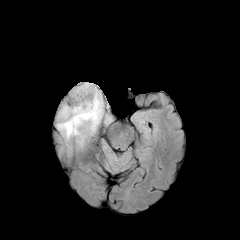
FLAIR MR image.
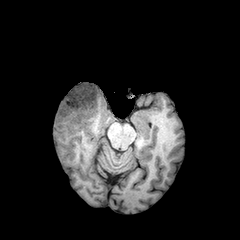
T1-weighted magnetic resonance.
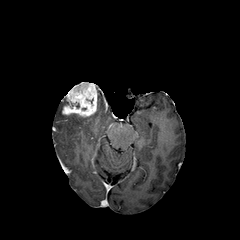
Post-contrast T1-weighted magnetic resonance.
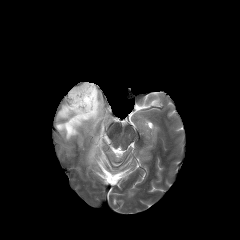
T2-weighted MR image of the same slice.
240x240.
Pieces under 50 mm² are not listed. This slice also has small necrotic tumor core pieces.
peritumoral edema — (left=56, top=90, right=103, bottom=144)
enhancing tumor — (left=62, top=82, right=98, bottom=117)